FLAIR MR image.
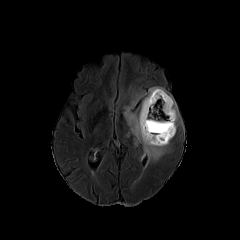
T1-weighted MR image.
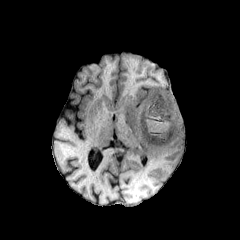
Post-contrast T1-weighted MR.
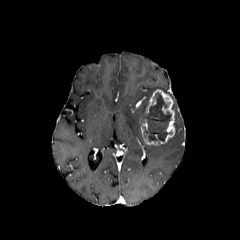
T2-weighted MR image.
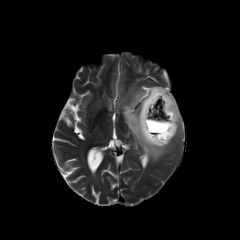
Head, 240x240 px, Axial slice
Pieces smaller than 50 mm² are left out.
Segmented structures:
• necrotic tumor core: (144, 93, 171, 141)
• enhancing tumor: (140, 89, 175, 145)
• peritumoral edema: (172, 101, 181, 129), (123, 86, 171, 162)